240x240 px; Slice 73 of 155; Image width 240 mm, 1.00 mm slice spacing
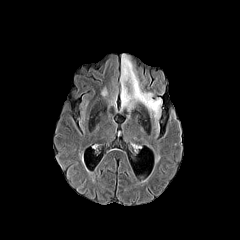
FLAIR MRI.
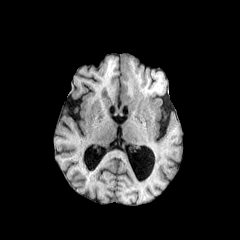
T1-weighted magnetic resonance of the same slice.
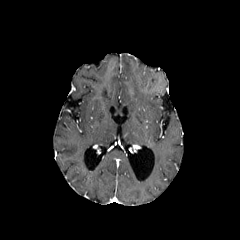
Same slice, post-contrast T1-weighted MR image.
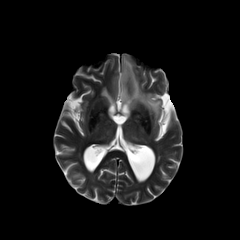
T2-weighted MR image.
peritumoral_edema:
  - 120,54,161,121